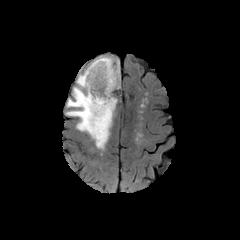
FLAIR MR.
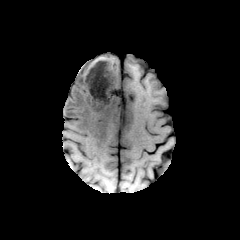
Same slice, T1-weighted MR.
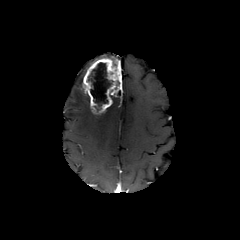
Same slice, post-contrast T1-weighted magnetic resonance.
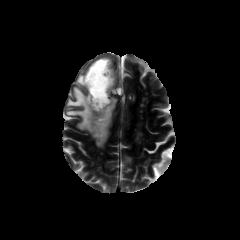
T2-weighted MR image of the same slice.
Brain | Axial view
{"enhancing_tumor": ["(82, 58, 121, 114)"], "necrotic_tumor_core": ["(88, 62, 111, 106)"], "peritumoral_edema": ["(66, 55, 117, 150)"]}